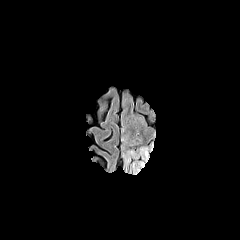
FLAIR magnetic resonance.
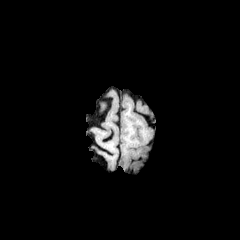
T1-weighted MR.
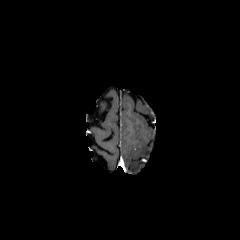
Post-contrast T1-weighted magnetic resonance of the same slice.
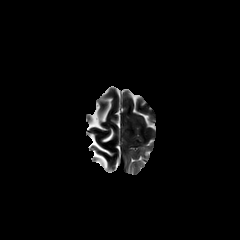
T2-weighted MR image.
Head.
Findings:
- peritumoral edema: <box>122,142,153,173</box>